240x240 px
FLAIR MR image.
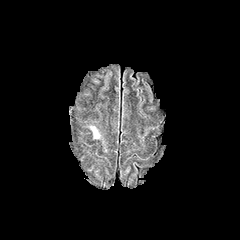
T1-weighted MR.
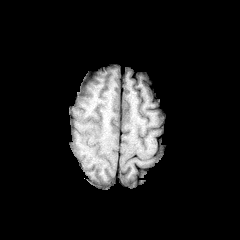
Post-contrast T1-weighted magnetic resonance.
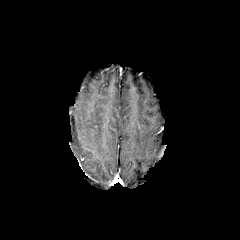
T2-weighted magnetic resonance.
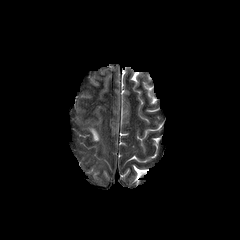
The peritumoral edema is located at left=91, top=127, right=99, bottom=139.